FLAIR MR image.
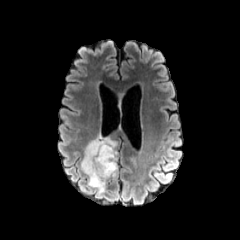
T1-weighted MRI.
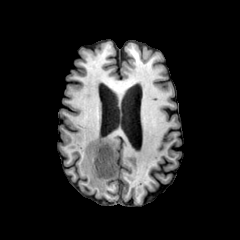
Post-contrast T1-weighted MR image.
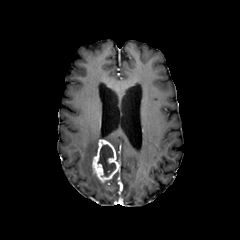
T2-weighted MR image.
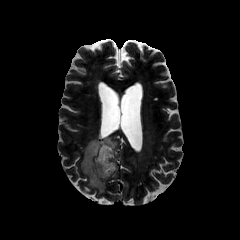
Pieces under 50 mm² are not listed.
The enhancing tumor is located at <bbox>92, 139, 118, 182</bbox>. The necrotic tumor core is at <bbox>98, 144, 115, 176</bbox>. The largest peritumoral edema region is bounded by <bbox>81, 134, 117, 195</bbox>.